Image width 240 mm, 1.00 mm slice spacing.
FLAIR magnetic resonance.
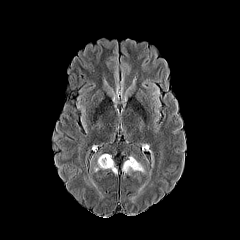
T1-weighted MR image.
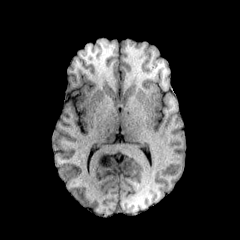
Post-contrast T1-weighted MR.
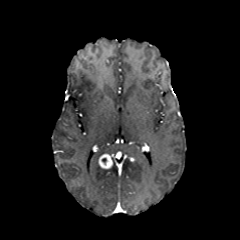
T2-weighted magnetic resonance.
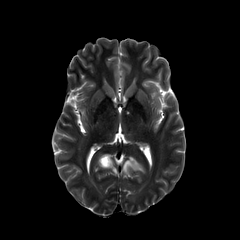
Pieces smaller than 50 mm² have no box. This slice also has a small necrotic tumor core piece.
Segmented structures:
* enhancing tumor: (98,154,112,168)
* peritumoral edema: (122,159,144,173)